Axial plane, Head, Image width 240 mm, Slice 91/155, 240x240
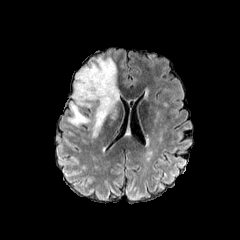
FLAIR magnetic resonance.
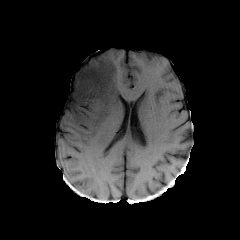
Same slice, T1-weighted MRI.
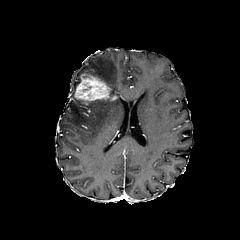
Same slice, post-contrast T1-weighted magnetic resonance.
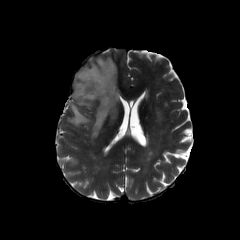
T2-weighted magnetic resonance.
peritumoral edema = x1=67, y1=56, x2=119, y2=137
enhancing tumor = x1=74, y1=71, x2=117, y2=105